Head, 240x240, Image covers 240 mm x 240 mm, Slice 91/155
FLAIR magnetic resonance.
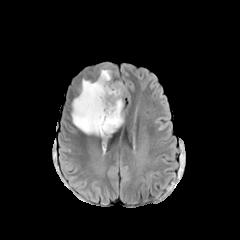
T1-weighted MRI.
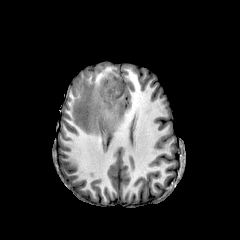
Post-contrast T1-weighted MRI.
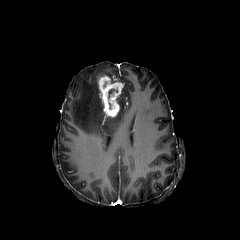
T2-weighted magnetic resonance.
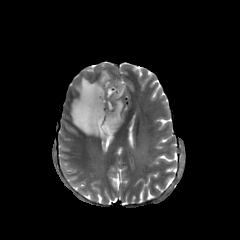
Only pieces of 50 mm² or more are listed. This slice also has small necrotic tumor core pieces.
peritumoral edema at l=71, t=78, r=107, b=139; l=99, t=70, r=111, b=78; l=103, t=86, r=125, b=134
enhancing tumor at l=98, t=76, r=123, b=117